FLAIR MRI.
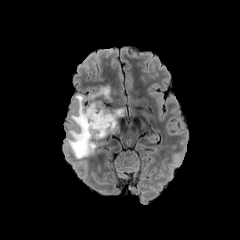
T1-weighted MR.
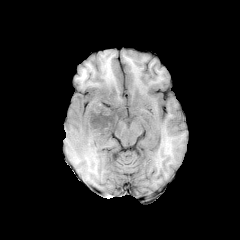
Post-contrast T1-weighted MR.
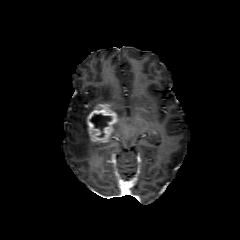
T2-weighted MR.
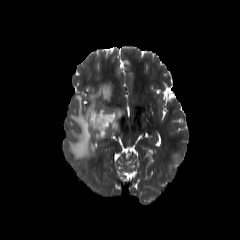
Head.
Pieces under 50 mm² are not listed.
enhancing tumor: rect(86, 103, 118, 142)
necrotic tumor core: rect(90, 114, 110, 130)
peritumoral edema: rect(112, 109, 122, 117); rect(67, 85, 110, 158)